Brain; 240x240 px
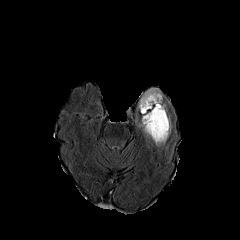
FLAIR MRI.
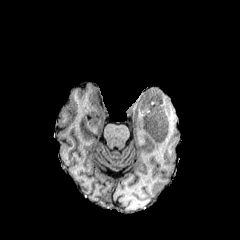
Same slice, T1-weighted magnetic resonance.
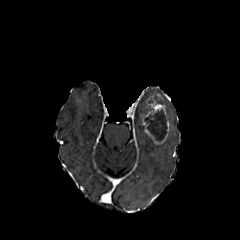
Post-contrast T1-weighted MR.
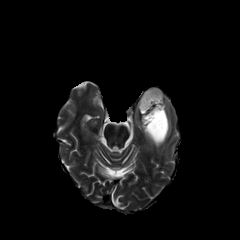
T2-weighted MR.
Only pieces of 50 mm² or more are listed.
enhancing tumor: [142, 93, 169, 144]
necrotic tumor core: [144, 109, 166, 140]
peritumoral edema: [137, 88, 163, 114], [167, 114, 171, 138]